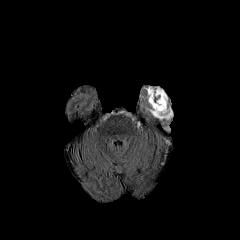
FLAIR MR image.
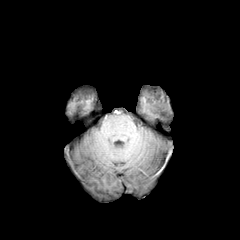
Same slice, T1-weighted MR.
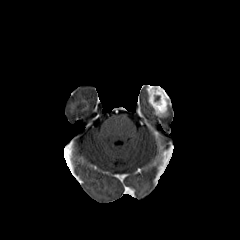
Post-contrast T1-weighted MR.
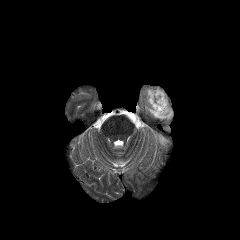
T2-weighted magnetic resonance of the same slice.
Axial slice, 240x240 px
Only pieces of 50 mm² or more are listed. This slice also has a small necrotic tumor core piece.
enhancing tumor: <box>147,86,168,116</box> | peritumoral edema: <box>145,105,172,119</box>